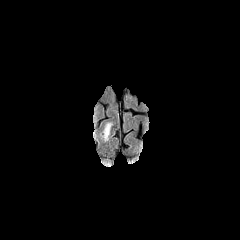
FLAIR magnetic resonance.
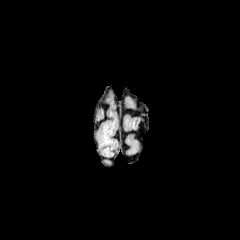
T1-weighted MRI of the same slice.
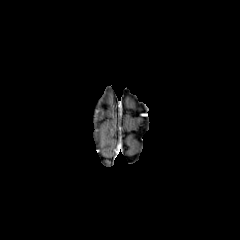
Post-contrast T1-weighted MR.
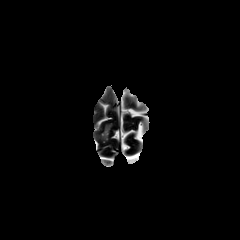
T2-weighted MR image of the same slice.
240x240, Axial plane, Brain
The peritumoral edema is bounded by 103 123 111 140.